FLAIR MRI.
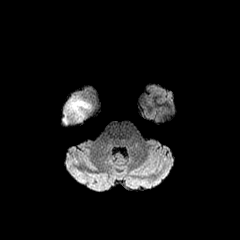
T1-weighted MR.
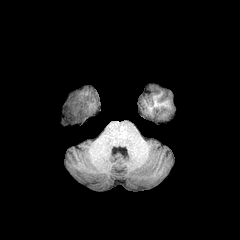
Post-contrast T1-weighted MR image.
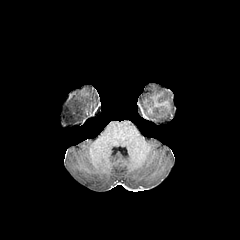
T2-weighted magnetic resonance.
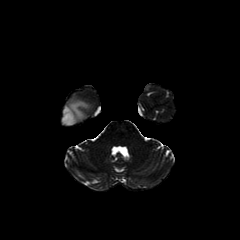
Head | Axial view
The peritumoral edema appears at bbox=[62, 98, 90, 126].